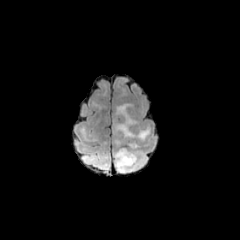
FLAIR MRI.
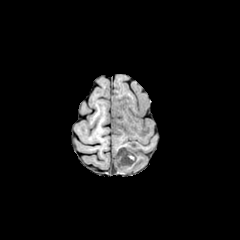
T1-weighted magnetic resonance.
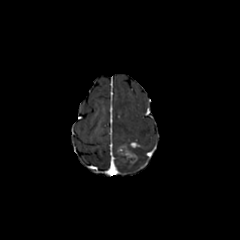
Post-contrast T1-weighted MR image of the same slice.
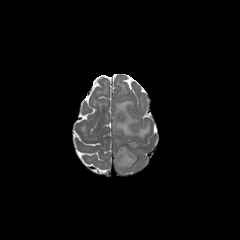
T2-weighted MR image.
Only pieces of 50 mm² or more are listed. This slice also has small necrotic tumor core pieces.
{
  "peritumoral_edema": [
    "bbox=[113, 143, 145, 172]",
    "bbox=[114, 103, 150, 140]"
  ],
  "enhancing_tumor": [
    "bbox=[117, 145, 137, 165]"
  ]
}